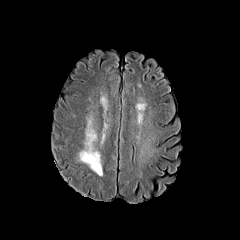
FLAIR MR image.
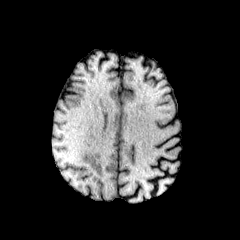
T1-weighted MRI.
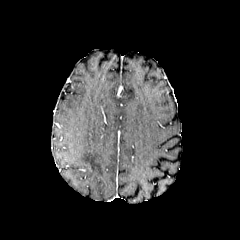
Post-contrast T1-weighted MR of the same slice.
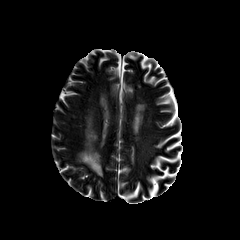
T2-weighted MR.
Axial plane; Head
- peritumoral edema: [x1=80, y1=120, x2=102, y2=175]